Axial slice, Image covers 240 mm x 240 mm
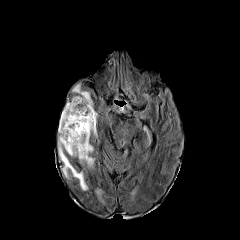
FLAIR MR image.
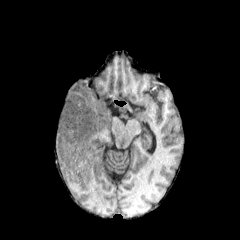
T1-weighted MR image.
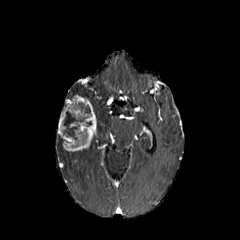
Post-contrast T1-weighted MRI.
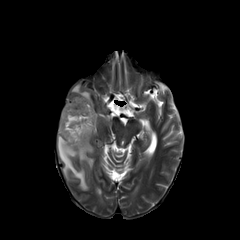
T2-weighted MR image.
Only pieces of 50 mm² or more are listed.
The enhancing tumor is bounded by rect(58, 95, 96, 151). The 2 largest peritumoral edema regions are bounded by rect(58, 134, 94, 190); rect(72, 84, 92, 105). The 2 largest necrotic tumor core regions appear at rect(63, 111, 85, 140); rect(75, 103, 90, 113).